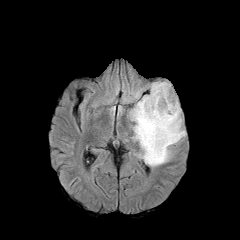
FLAIR MRI.
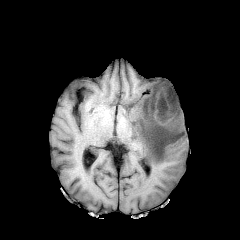
T1-weighted magnetic resonance.
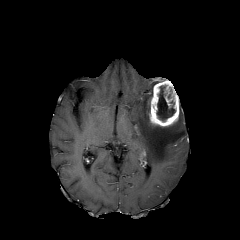
Post-contrast T1-weighted magnetic resonance.
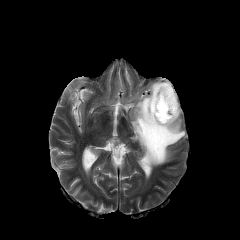
T2-weighted MR of the same slice.
Axial slice. Brain. 240x240 px.
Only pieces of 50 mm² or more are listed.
necrotic_tumor_core:
  - <box>157,86,175,120</box>
peritumoral_edema:
  - <box>129,82,185,166</box>
enhancing_tumor:
  - <box>148,79,179,126</box>